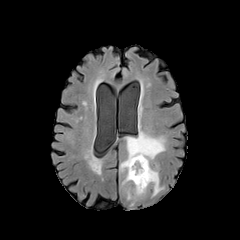
FLAIR magnetic resonance.
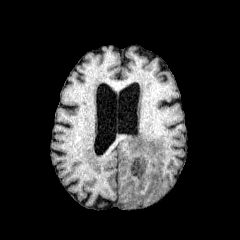
T1-weighted MR image of the same slice.
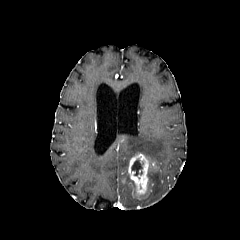
Post-contrast T1-weighted MR image.
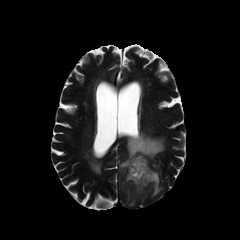
T2-weighted MRI.
240x240 | Axial slice
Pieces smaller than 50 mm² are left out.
The enhancing tumor is bounded by <bbox>128, 153, 149, 196</bbox>. The necrotic tumor core is located at <bbox>131, 159, 143, 175</bbox>. The 2 largest peritumoral edema regions are bounded by <bbox>120, 131, 165, 170</bbox>, <bbox>148, 167, 163, 196</bbox>.